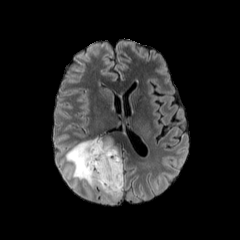
FLAIR magnetic resonance.
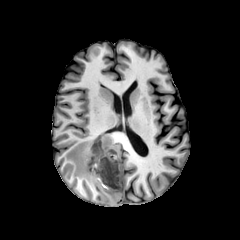
T1-weighted MR image.
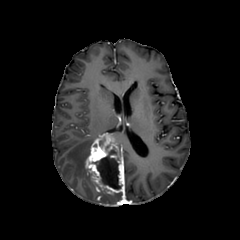
Post-contrast T1-weighted MR.
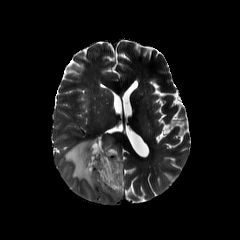
T2-weighted MRI.
Head | Image size 240x240
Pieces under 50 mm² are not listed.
necrotic tumor core: l=92, t=147, r=120, b=189
enhancing tumor: l=85, t=134, r=124, b=193
peritumoral edema: l=100, t=191, r=122, b=199; l=65, t=139, r=96, b=193